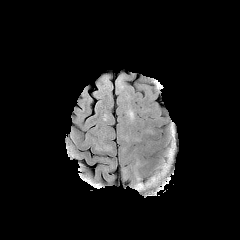
FLAIR magnetic resonance.
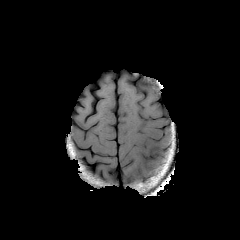
T1-weighted MR image.
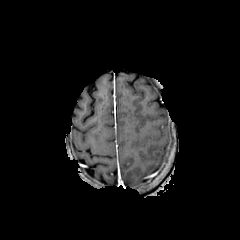
Post-contrast T1-weighted magnetic resonance of the same slice.
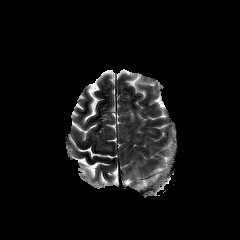
T2-weighted MR image of the same slice.
Axial view, 240x240 px, Head
peritumoral edema at x1=134 y1=162 x2=140 y2=183